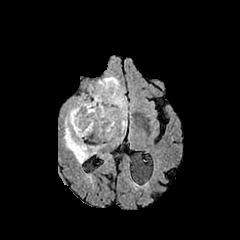
FLAIR MR.
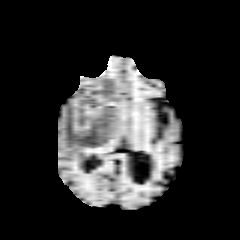
T1-weighted MR.
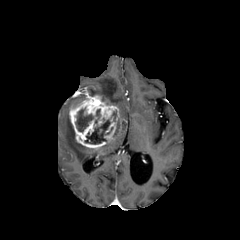
Post-contrast T1-weighted MR image of the same slice.
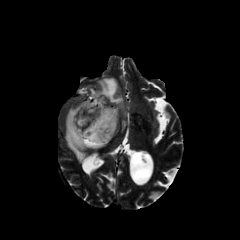
T2-weighted MR of the same slice.
Axial plane
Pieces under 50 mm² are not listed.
enhancing tumor — (left=69, top=95, right=119, bottom=149)
necrotic tumor core — (left=84, top=120, right=110, bottom=144), (left=76, top=109, right=93, bottom=131)
peritumoral edema — (left=89, top=76, right=129, bottom=119), (left=64, top=112, right=96, bottom=163), (left=117, top=119, right=127, bottom=132)